Axial slice. Brain. Slice 88 of 155. 240x240 px.
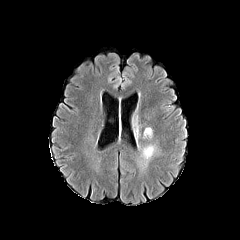
FLAIR MR image.
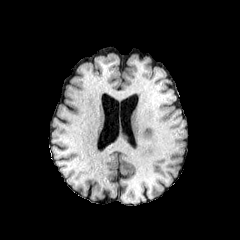
T1-weighted MR image.
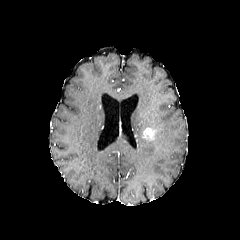
Post-contrast T1-weighted MR.
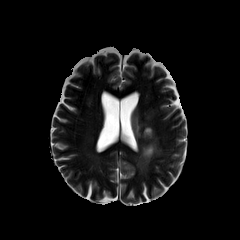
Same slice, T2-weighted MR.
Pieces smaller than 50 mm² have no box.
Segmented structures:
* peritumoral edema: (137,144,159,170), (133,115,139,140)
* enhancing tumor: (143,128,153,138)